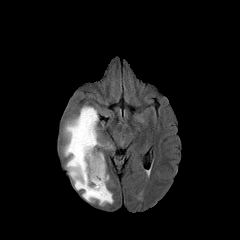
FLAIR MRI.
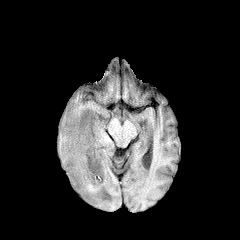
T1-weighted magnetic resonance.
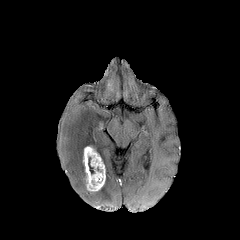
Post-contrast T1-weighted magnetic resonance of the same slice.
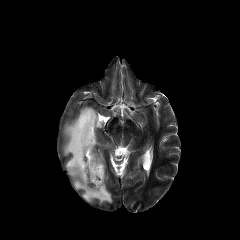
T2-weighted MRI.
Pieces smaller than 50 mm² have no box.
The largest peritumoral edema region appears at x1=62, y1=105, x2=113, y2=204. The enhancing tumor lies within x1=83, y1=146, x2=105, y2=191. The 2 largest necrotic tumor core regions appear at x1=88, y1=157, x2=94, y2=173; x1=92, y1=176, x2=103, y2=185.